FLAIR magnetic resonance.
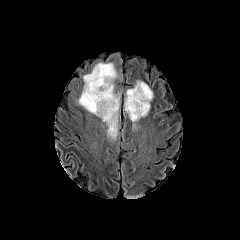
T1-weighted MRI.
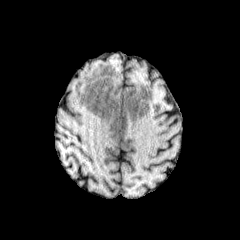
Post-contrast T1-weighted MR.
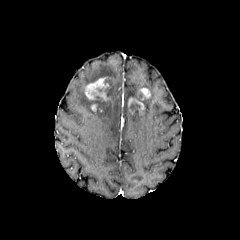
T2-weighted MRI.
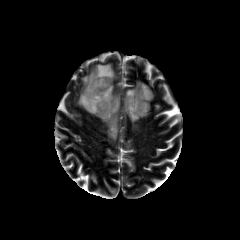
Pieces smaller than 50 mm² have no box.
{
  "peritumoral_edema": [
    "(78,63,120,136)",
    "(124,80,153,122)"
  ],
  "necrotic_tumor_core": [
    "(132,91,146,105)",
    "(128,101,140,113)",
    "(89,96,104,106)"
  ],
  "enhancing_tumor": [
    "(84,77,108,100)",
    "(128,97,145,113)",
    "(138,87,150,100)"
  ]
}